Image width 240 mm, 1.00 mm slice spacing, Head, Image size 240x240
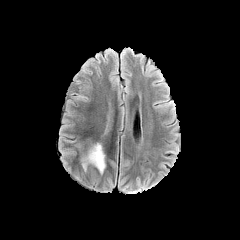
FLAIR MR image.
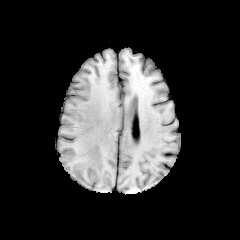
T1-weighted MR image of the same slice.
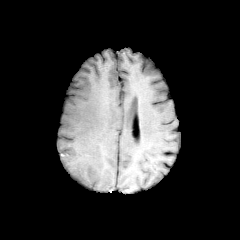
Post-contrast T1-weighted MR of the same slice.
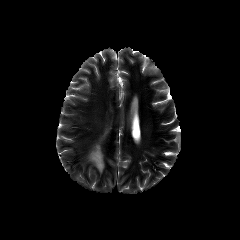
T2-weighted MR.
peritumoral edema: x1=75 y1=137 x2=106 y2=174